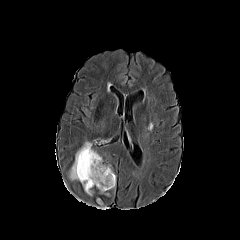
FLAIR MR.
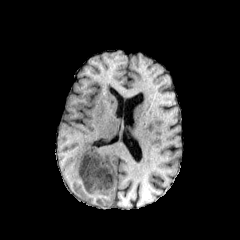
T1-weighted MR image of the same slice.
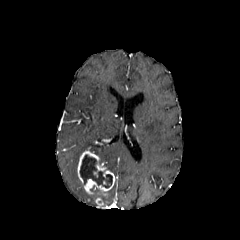
Post-contrast T1-weighted MR.
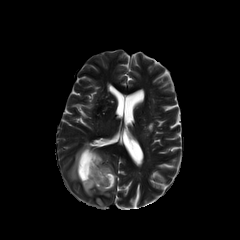
T2-weighted MRI.
Head.
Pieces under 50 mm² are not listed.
Findings:
* enhancing tumor: [77, 147, 115, 194]
* necrotic tumor core: [80, 155, 112, 187]
* peritumoral edema: [69, 141, 93, 180]